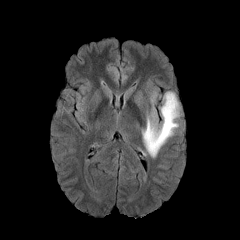
FLAIR MR image.
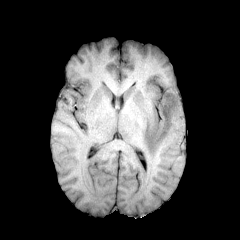
Same slice, T1-weighted MR image.
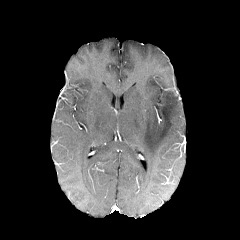
Post-contrast T1-weighted MR image of the same slice.
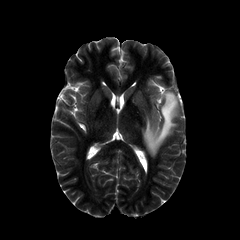
T2-weighted MR image.
Brain
peritumoral edema: bounding box region(142, 91, 180, 157)